FLAIR MRI.
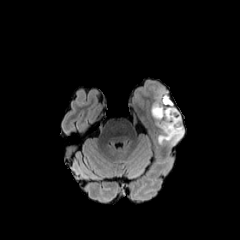
T1-weighted MR image.
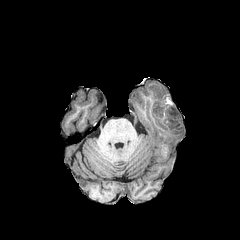
Post-contrast T1-weighted magnetic resonance.
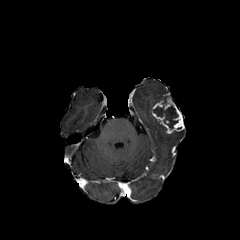
T2-weighted MRI.
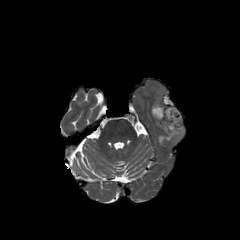
Head; Axial view
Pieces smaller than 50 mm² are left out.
enhancing tumor: bounding box bbox=[151, 93, 184, 133]
peritumoral edema: bounding box bbox=[154, 118, 184, 144]
necrotic tumor core: bounding box bbox=[153, 97, 178, 128]